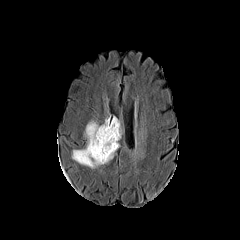
FLAIR magnetic resonance.
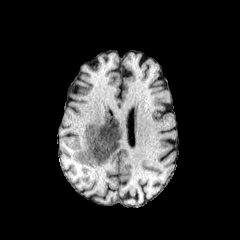
Same slice, T1-weighted MR image.
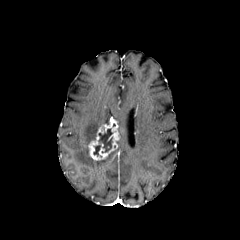
Post-contrast T1-weighted magnetic resonance of the same slice.
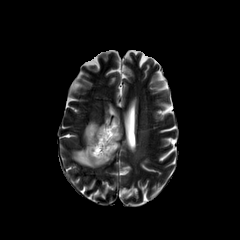
T2-weighted magnetic resonance of the same slice.
Brain
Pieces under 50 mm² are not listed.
The largest peritumoral edema region is bounded by 72:121:115:168. The largest necrotic tumor core region is bounded by 93:128:112:157. The largest enhancing tumor region lies within 88:119:119:160.